240x240; Axial slice
FLAIR magnetic resonance.
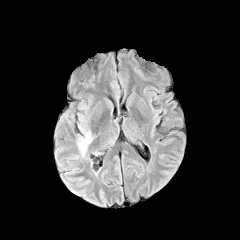
T1-weighted magnetic resonance.
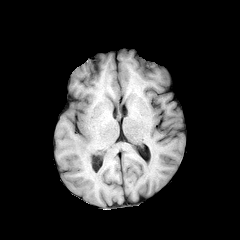
Post-contrast T1-weighted magnetic resonance.
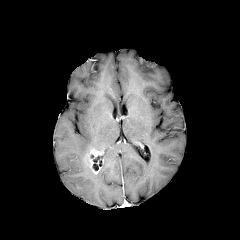
T2-weighted MR.
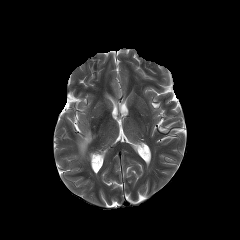
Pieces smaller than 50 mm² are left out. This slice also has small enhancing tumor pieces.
Findings:
• peritumoral edema: 77:129:92:157